FLAIR MR.
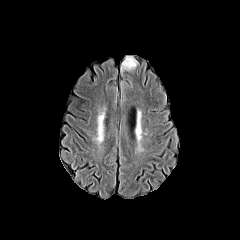
T1-weighted magnetic resonance.
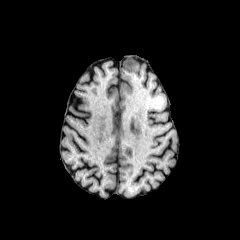
Post-contrast T1-weighted MR.
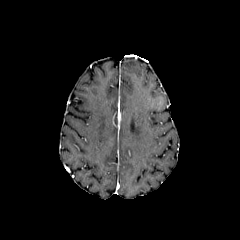
T2-weighted MR image.
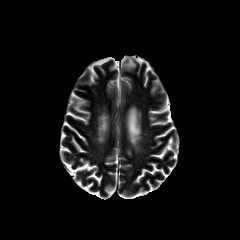
Axial slice
peritumoral edema = 121 56 137 72